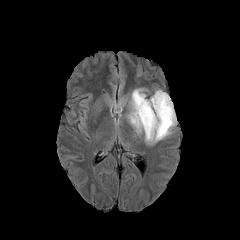
FLAIR MR.
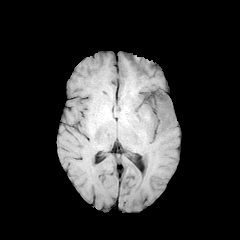
T1-weighted MRI of the same slice.
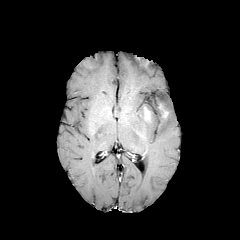
Post-contrast T1-weighted MR.
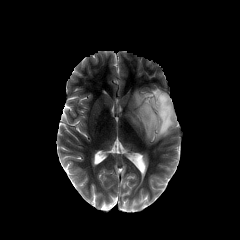
T2-weighted magnetic resonance.
<segmentation>
  <enhancing_tumor>l=158, t=102, r=168, b=119; l=144, t=106, r=151, b=121</enhancing_tumor>
  <peritumoral_edema>l=128, t=89, r=158, b=142; l=149, t=89, r=177, b=142</peritumoral_edema>
</segmentation>